FLAIR magnetic resonance.
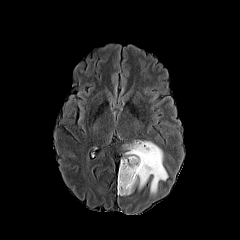
T1-weighted magnetic resonance.
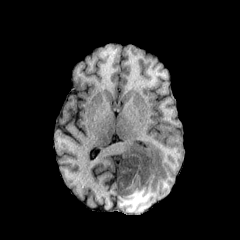
Post-contrast T1-weighted MR.
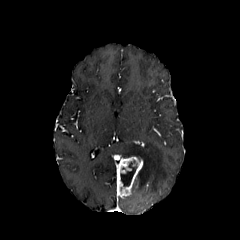
T2-weighted MRI.
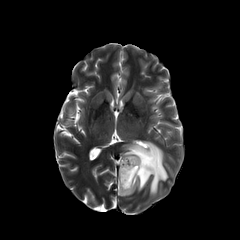
240x240. Head.
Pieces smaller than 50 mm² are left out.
enhancing tumor — x1=117 y1=156 x2=143 y2=197
necrotic tumor core — x1=120 y1=162 x2=137 y2=186
peritumoral edema — x1=124 y1=141 x2=168 y2=193